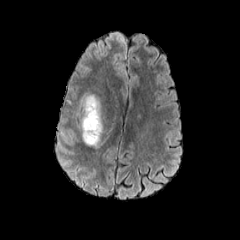
FLAIR MR.
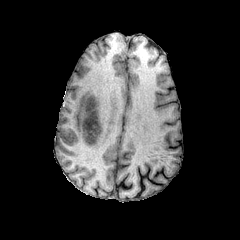
T1-weighted magnetic resonance of the same slice.
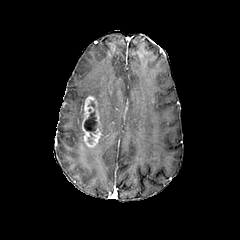
Post-contrast T1-weighted MRI of the same slice.
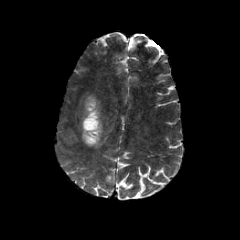
T2-weighted magnetic resonance.
Axial plane
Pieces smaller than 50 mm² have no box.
enhancing_tumor:
  - {"x1": 81, "y1": 95, "x2": 101, "y2": 147}
necrotic_tumor_core:
  - {"x1": 84, "y1": 112, "x2": 96, "y2": 133}
peritumoral_edema:
  - {"x1": 80, "y1": 93, "x2": 103, "y2": 134}